FLAIR MR.
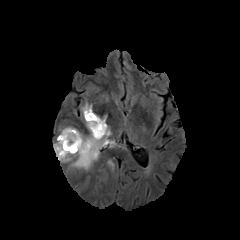
T1-weighted MRI.
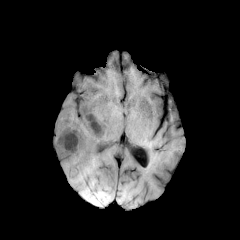
Post-contrast T1-weighted MR.
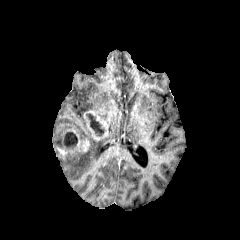
T2-weighted MR.
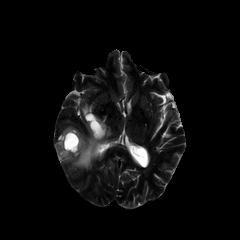
Axial view.
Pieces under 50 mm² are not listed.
2 enhancing tumor regions are located at x1=84, y1=110, x2=108, y2=140; x1=56, y1=129, x2=89, y2=159. The 2 largest necrotic tumor core regions are bounded by x1=63, y1=132, x2=77, y2=147; x1=89, y1=114, x2=104, y2=133. The 2 largest peritumoral edema regions are bounded by x1=58, y1=126, x2=116, y2=170; x1=81, y1=103, x2=92, y2=116.